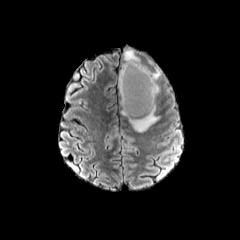
FLAIR MR.
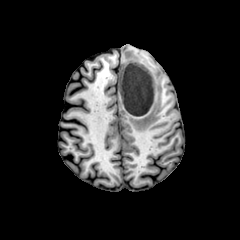
Same slice, T1-weighted MR.
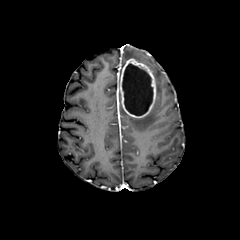
Post-contrast T1-weighted MR.
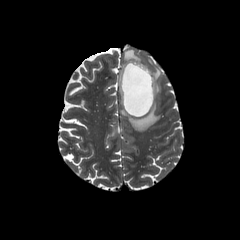
T2-weighted MR of the same slice.
240x240 px | Head
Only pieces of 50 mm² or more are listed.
- enhancing tumor: (119,58,156,117)
- peritumoral edema: (121,101,159,132), (153,67,161,93), (124,49,140,62)
- necrotic tumor core: (122,63,153,115)